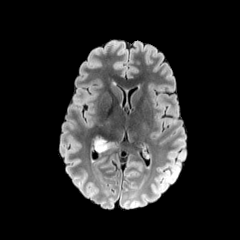
FLAIR MRI.
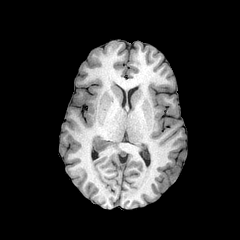
Same slice, T1-weighted MR image.
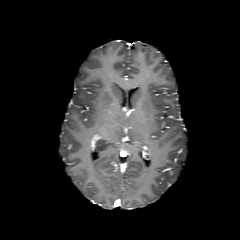
Same slice, post-contrast T1-weighted MR image.
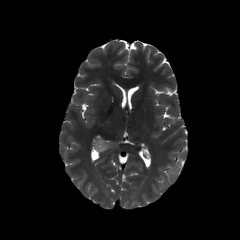
T2-weighted MR image.
Brain
The peritumoral edema is at 91,133,119,152.